FLAIR magnetic resonance.
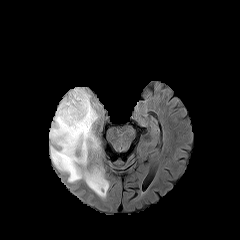
T1-weighted magnetic resonance.
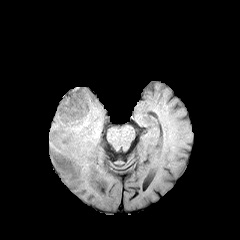
Post-contrast T1-weighted magnetic resonance.
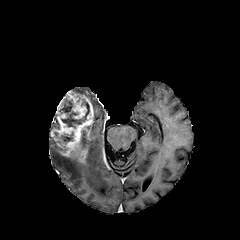
T2-weighted MR.
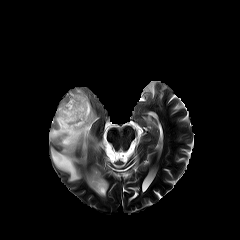
Head.
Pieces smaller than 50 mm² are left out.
necrotic_tumor_core:
  - (59,99,72,113)
  - (61,133,73,142)
  - (61,101,89,127)
peritumoral_edema:
  - (50,88,108,197)
  - (51,113,59,129)
enhancing_tumor:
  - (50,90,93,163)